Brain, Axial slice, Image width 240 mm, Slice index 74
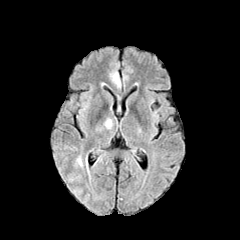
FLAIR MR.
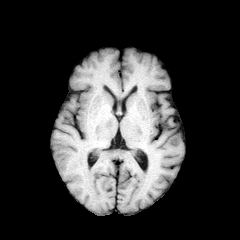
T1-weighted MRI of the same slice.
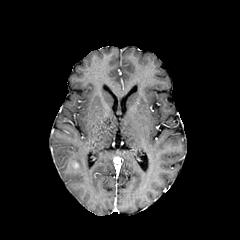
Post-contrast T1-weighted MR of the same slice.
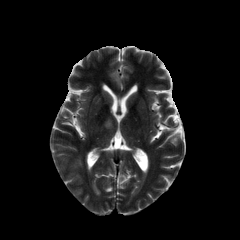
Same slice, T2-weighted MR.
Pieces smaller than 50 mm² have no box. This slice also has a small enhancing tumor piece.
Findings:
- peritumoral edema: bbox(112, 73, 120, 87); bbox(73, 155, 83, 167)